FLAIR magnetic resonance.
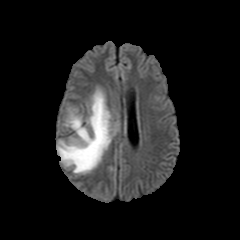
T1-weighted magnetic resonance.
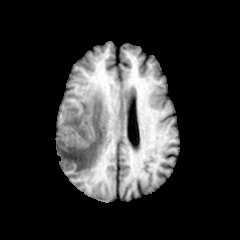
Post-contrast T1-weighted MR image.
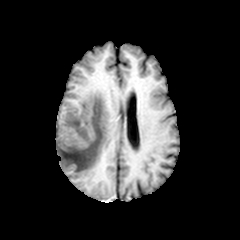
T2-weighted MR image.
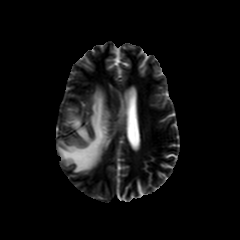
Brain, Axial view, 240x240 px
Findings:
• peritumoral edema: {"x1": 57, "y1": 88, "x2": 112, "y2": 173}